Slice index 51, Axial slice, Image width 240 mm
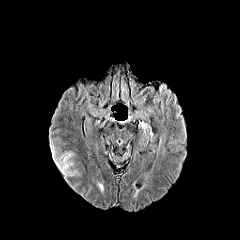
FLAIR magnetic resonance.
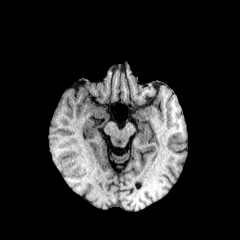
T1-weighted MRI.
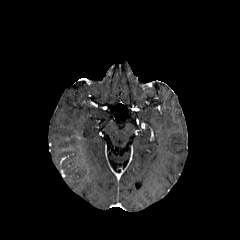
Post-contrast T1-weighted MR of the same slice.
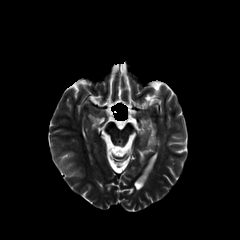
T2-weighted MRI of the same slice.
2 peritumoral edema regions are located at rect(51, 146, 70, 168); rect(63, 156, 77, 176).